FLAIR MRI.
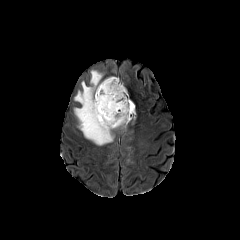
T1-weighted MR image.
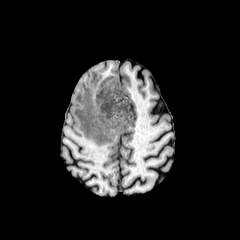
Post-contrast T1-weighted magnetic resonance.
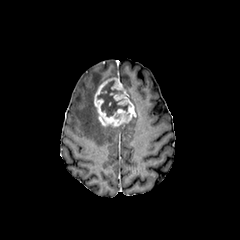
T2-weighted magnetic resonance.
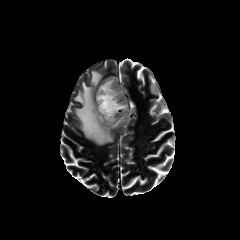
Image size 240x240 | Axial plane | Brain
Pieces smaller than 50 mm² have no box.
<segmentation>
  <peritumoral_edema>74 70 117 145</peritumoral_edema>
  <necrotic_tumor_core>97 80 128 116</necrotic_tumor_core>
  <enhancing_tumor>94 77 134 126</enhancing_tumor>
</segmentation>